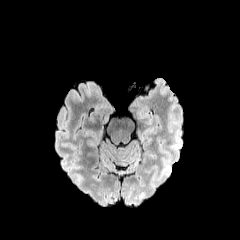
FLAIR magnetic resonance.
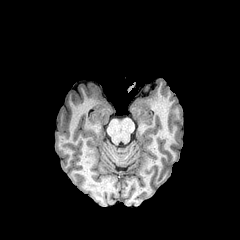
T1-weighted magnetic resonance of the same slice.
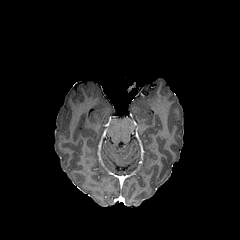
Post-contrast T1-weighted MR image of the same slice.
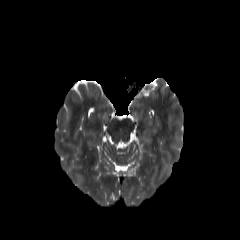
T2-weighted MR.
Brain
peritumoral edema = 171, 136, 180, 150; 162, 158, 171, 174